Axial slice | 240x240 | Image covers 240 mm x 240 mm
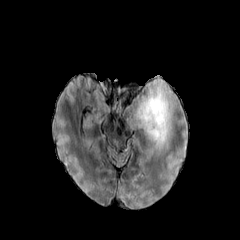
FLAIR magnetic resonance.
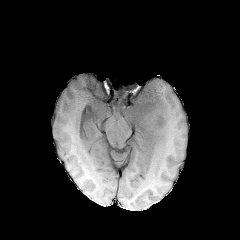
Same slice, T1-weighted MR image.
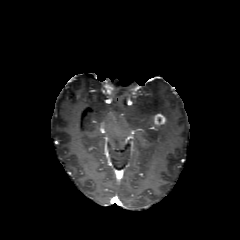
Post-contrast T1-weighted magnetic resonance.
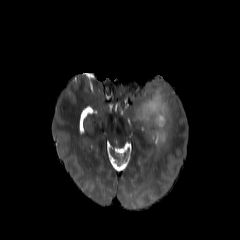
T2-weighted MR.
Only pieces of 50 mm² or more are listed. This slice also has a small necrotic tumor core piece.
enhancing_tumor:
  - [x1=151, y1=113, x2=166, y2=128]
peritumoral_edema:
  - [x1=133, y1=82, x2=171, y2=148]